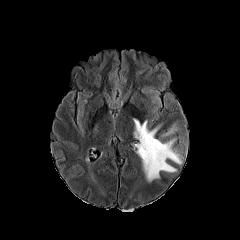
FLAIR MRI.
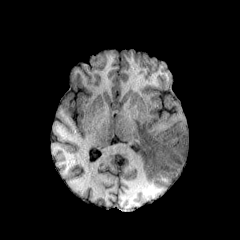
Same slice, T1-weighted MRI.
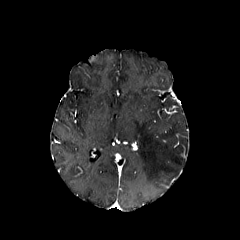
Same slice, post-contrast T1-weighted MR image.
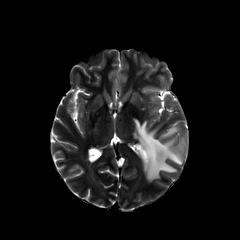
T2-weighted MR image of the same slice.
Head.
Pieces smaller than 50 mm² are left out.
{"peritumoral_edema": ["bbox=[133, 119, 182, 181]", "bbox=[162, 127, 177, 136]"]}